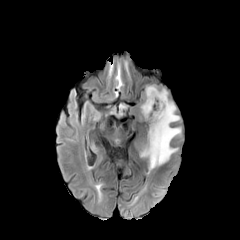
FLAIR MR image.
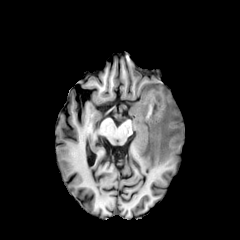
T1-weighted MR of the same slice.
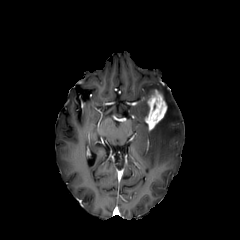
Same slice, post-contrast T1-weighted MRI.
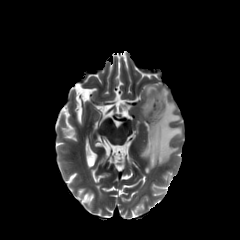
T2-weighted MR image.
Head
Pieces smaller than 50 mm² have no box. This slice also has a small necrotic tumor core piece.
enhancing_tumor:
  - <box>145,90,167,130</box>
peritumoral_edema:
  - <box>140,85,157,116</box>
  - <box>141,89,181,169</box>